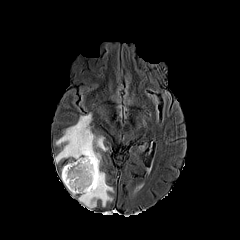
FLAIR MR.
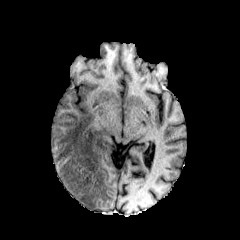
Same slice, T1-weighted MR.
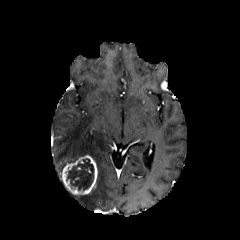
Post-contrast T1-weighted MR.
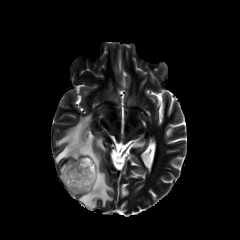
T2-weighted MR image.
Head
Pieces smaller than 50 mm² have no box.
Findings:
- enhancing tumor: bbox=[61, 155, 97, 194]
- peritumoral edema: bbox=[55, 113, 113, 210]
- necrotic tumor core: bbox=[66, 158, 94, 190]